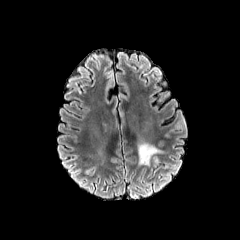
FLAIR MR.
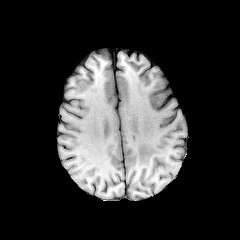
T1-weighted magnetic resonance.
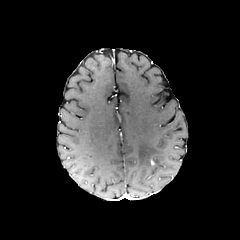
Post-contrast T1-weighted magnetic resonance of the same slice.
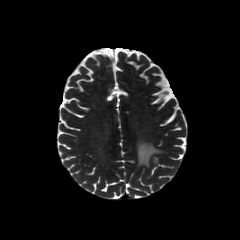
T2-weighted MR of the same slice.
Axial plane. 240x240.
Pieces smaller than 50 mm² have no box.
The largest peritumoral edema region is at (138, 143, 161, 165).